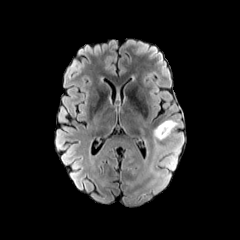
FLAIR MR.
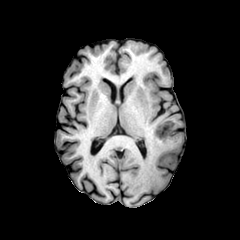
T1-weighted magnetic resonance.
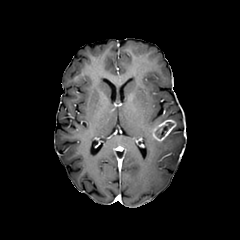
Post-contrast T1-weighted MR image of the same slice.
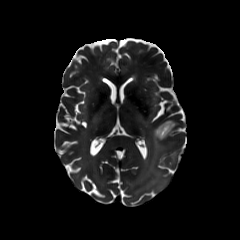
T2-weighted magnetic resonance of the same slice.
Axial view; 240x240 px
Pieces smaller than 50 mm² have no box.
enhancing_tumor:
  - region(152, 119, 176, 141)
peritumoral_edema:
  - region(150, 138, 165, 175)
necrotic_tumor_core:
  - region(155, 122, 173, 138)